Slice 46/155; Head; Image covers 240 mm x 240 mm; 240x240
FLAIR magnetic resonance.
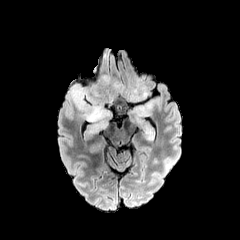
T1-weighted magnetic resonance.
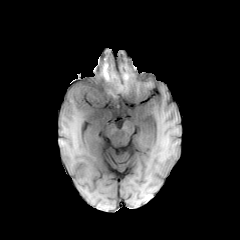
Post-contrast T1-weighted MR.
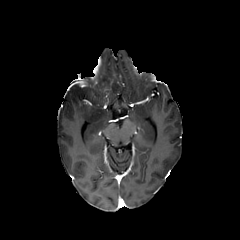
T2-weighted magnetic resonance.
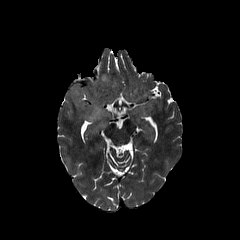
peritumoral edema — 131, 98, 154, 130; 71, 75, 148, 129